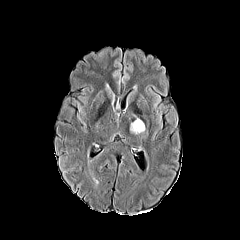
FLAIR MRI.
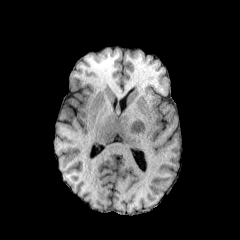
T1-weighted magnetic resonance of the same slice.
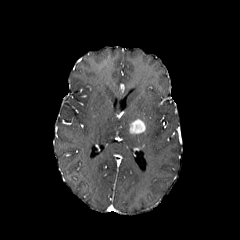
Post-contrast T1-weighted MR.
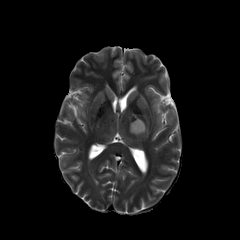
T2-weighted MR image of the same slice.
240x240; Brain
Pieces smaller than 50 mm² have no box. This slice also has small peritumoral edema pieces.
<segmentation>
  <enhancing_tumor>[129, 119, 145, 133]</enhancing_tumor>
</segmentation>